240x240, Brain, Slice 69/155
FLAIR MR.
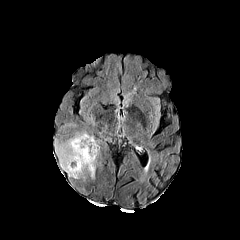
T1-weighted MRI.
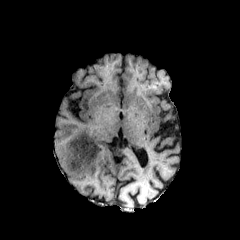
Post-contrast T1-weighted MR image.
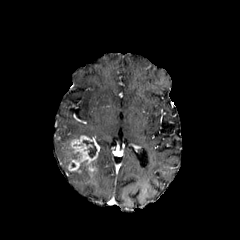
T2-weighted MRI.
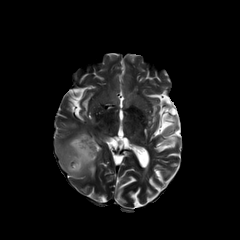
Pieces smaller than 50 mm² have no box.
enhancing tumor: 68,134,97,171 | necrotic tumor core: 83,141,96,158 | peritumoral edema: 57,132,96,179